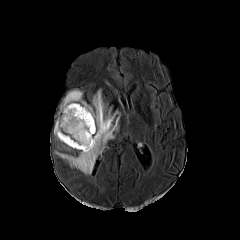
FLAIR MR image.
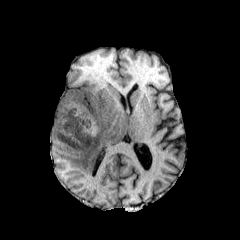
Same slice, T1-weighted MR image.
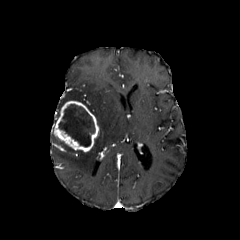
Post-contrast T1-weighted MR.
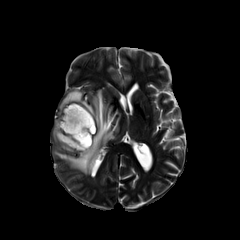
Same slice, T2-weighted MR.
Axial plane.
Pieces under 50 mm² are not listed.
necrotic tumor core: <box>59,104,95,146</box> | enhancing tumor: <box>54,101,99,152</box> | peritumoral edema: <box>59,90,92,111</box>, <box>54,89,119,174</box>